Head.
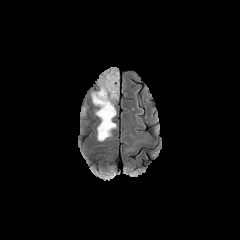
FLAIR magnetic resonance.
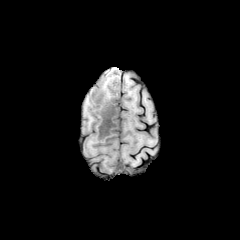
T1-weighted MRI.
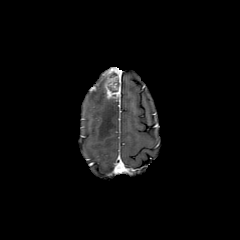
Post-contrast T1-weighted MR of the same slice.
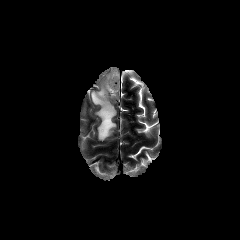
T2-weighted MR image of the same slice.
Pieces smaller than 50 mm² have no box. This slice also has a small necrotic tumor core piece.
The enhancing tumor is located at (x1=104, y1=67, x2=119, y2=99). 2 peritumoral edema regions appear at (x1=80, y1=100, x2=88, y2=119), (x1=91, y1=77, x2=116, y2=140).